FLAIR MR image.
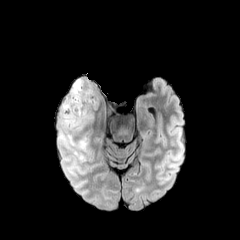
T1-weighted magnetic resonance.
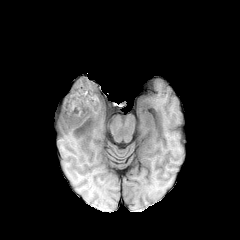
Post-contrast T1-weighted MR.
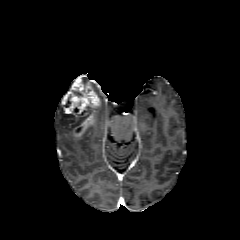
T2-weighted MR.
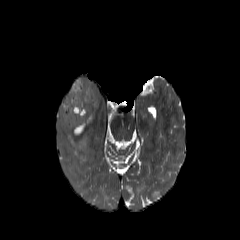
Image size 240x240; Head
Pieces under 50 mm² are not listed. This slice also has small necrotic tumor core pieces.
enhancing tumor: 62:78:100:136 | peritumoral edema: 68:135:75:146, 77:137:87:149, 60:106:93:132, 73:149:85:161